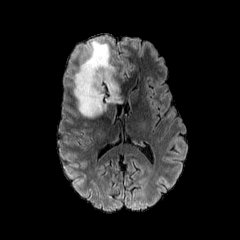
FLAIR MR image.
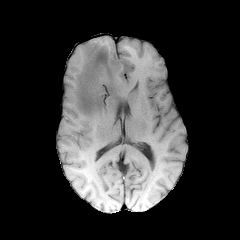
T1-weighted MR.
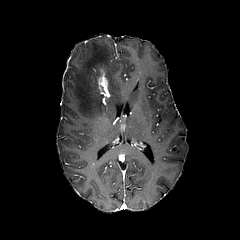
Same slice, post-contrast T1-weighted MRI.
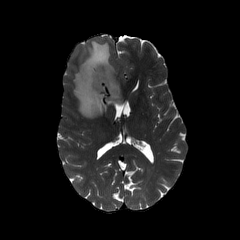
T2-weighted MR image.
Axial plane, Image size 240x240, Head
The enhancing tumor is at {"x1": 96, "y1": 68, "x2": 108, "y2": 95}. The peritumoral edema is bounded by {"x1": 74, "y1": 40, "x2": 119, "y2": 117}.